FLAIR MR.
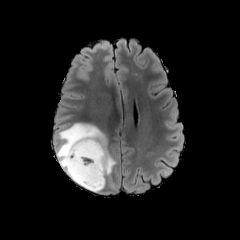
T1-weighted MR.
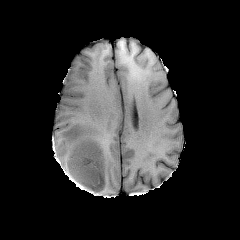
Post-contrast T1-weighted MRI.
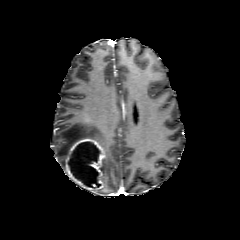
T2-weighted MR image.
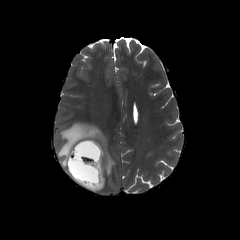
Axial view
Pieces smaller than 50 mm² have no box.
<segmentation>
  <peritumoral_edema>region(55, 123, 115, 184)</peritumoral_edema>
  <enhancing_tumor>region(62, 138, 105, 192)</enhancing_tumor>
  <necrotic_tumor_core>region(67, 142, 100, 188)</necrotic_tumor_core>
</segmentation>